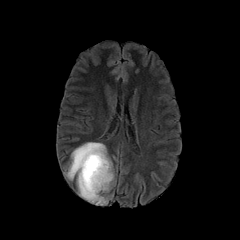
FLAIR MR image.
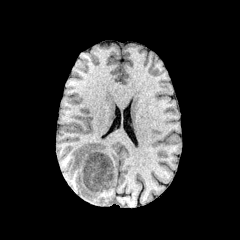
T1-weighted magnetic resonance.
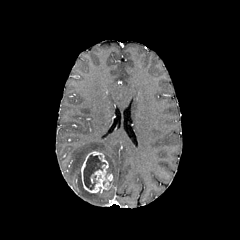
Post-contrast T1-weighted MR image of the same slice.
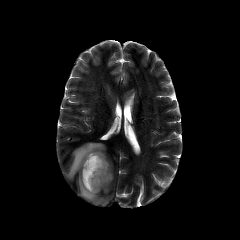
T2-weighted MR image.
Head; Axial view; 240x240 px
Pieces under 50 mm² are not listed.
{"necrotic_tumor_core": ["l=83, t=155, r=106, b=189"], "peritumoral_edema": ["l=66, t=142, r=114, b=204"], "enhancing_tumor": ["l=81, t=151, r=112, b=193"]}